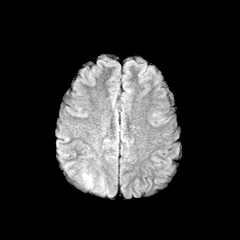
FLAIR magnetic resonance.
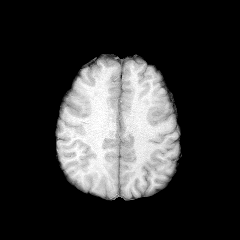
T1-weighted MRI.
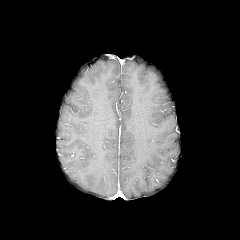
Post-contrast T1-weighted magnetic resonance.
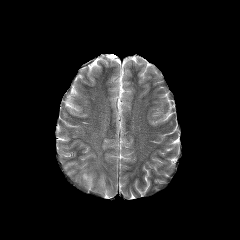
T2-weighted magnetic resonance.
Head | Axial view
peritumoral edema: <bbox>82, 173, 93, 188</bbox>, <bbox>99, 176, 110, 195</bbox>